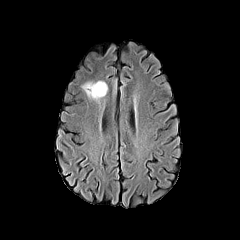
FLAIR MRI.
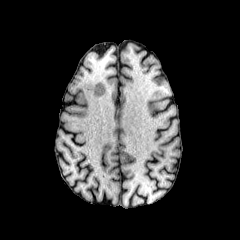
T1-weighted magnetic resonance of the same slice.
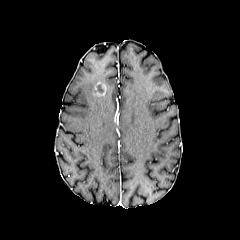
Post-contrast T1-weighted MR.
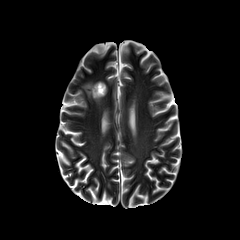
T2-weighted magnetic resonance.
240x240 px. Axial view. Brain.
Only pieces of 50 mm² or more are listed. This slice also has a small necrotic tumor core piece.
enhancing tumor — 93, 82, 106, 96
peritumoral edema — 82, 82, 104, 103